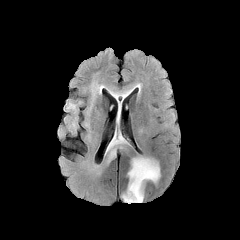
FLAIR MR image.
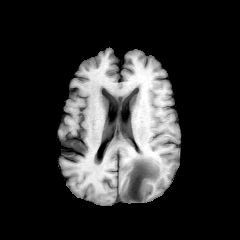
T1-weighted MR image.
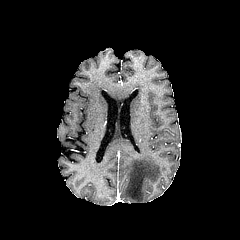
Post-contrast T1-weighted MR of the same slice.
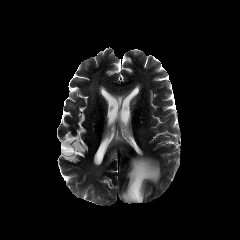
T2-weighted MRI.
Axial view. Image size 240x240. Brain.
peritumoral edema: x1=121 y1=156 x2=160 y2=203, x1=106 y1=148 x2=117 y2=164, x1=103 y1=125 x2=130 y2=157, x1=109 y1=90 x2=132 y2=123